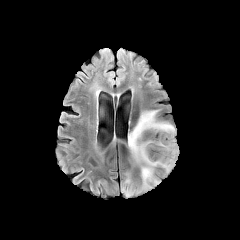
FLAIR MRI.
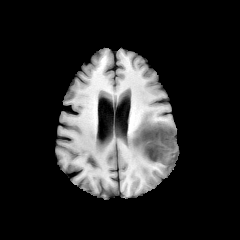
T1-weighted MRI of the same slice.
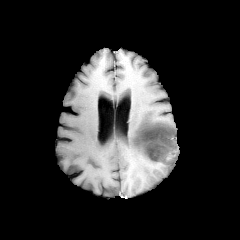
Same slice, post-contrast T1-weighted magnetic resonance.
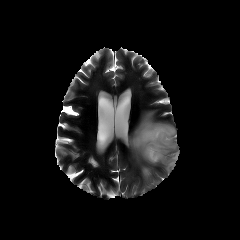
T2-weighted MR.
Axial plane
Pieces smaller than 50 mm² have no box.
enhancing tumor: bounding box box=[135, 126, 176, 163]
peritumoral edema: bounding box box=[128, 110, 176, 188]
necrotic tumor core: bounding box box=[136, 127, 175, 162]